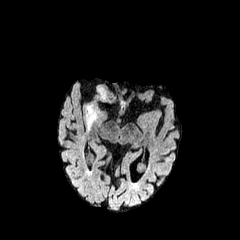
FLAIR MRI.
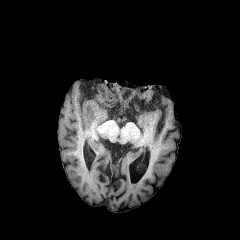
T1-weighted MR image of the same slice.
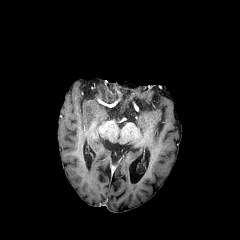
Post-contrast T1-weighted MR.
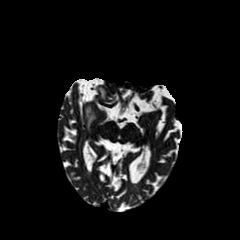
T2-weighted MRI.
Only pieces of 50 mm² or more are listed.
{
  "peritumoral_edema": [
    "l=86, t=106, r=96, b=129"
  ]
}